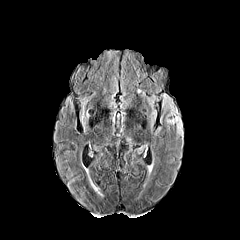
FLAIR MRI.
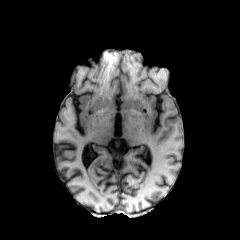
Same slice, T1-weighted magnetic resonance.
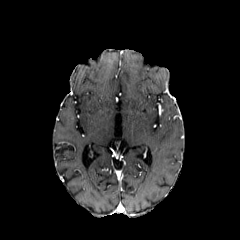
Same slice, post-contrast T1-weighted magnetic resonance.
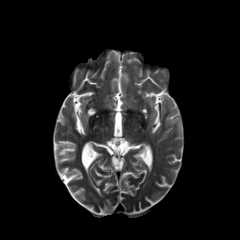
Same slice, T2-weighted magnetic resonance.
Brain
peritumoral edema = <box>163,96,182,135</box>